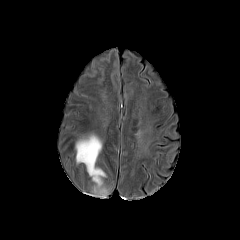
FLAIR MR.
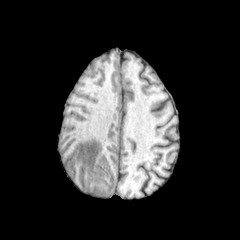
T1-weighted MR image of the same slice.
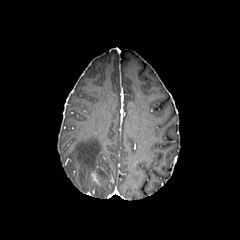
Same slice, post-contrast T1-weighted MR image.
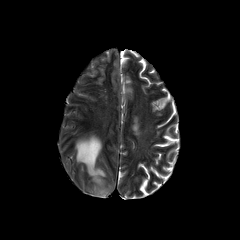
Same slice, T2-weighted MR.
240x240 px | Axial slice
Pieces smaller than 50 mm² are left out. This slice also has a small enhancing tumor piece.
* peritumoral edema: left=75, top=134, right=108, bottom=197